Slice 80 of 155.
FLAIR MR.
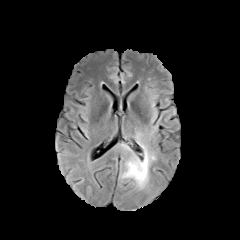
T1-weighted magnetic resonance.
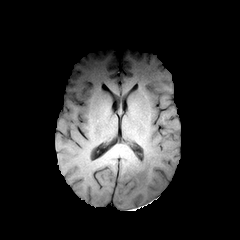
Post-contrast T1-weighted MR image.
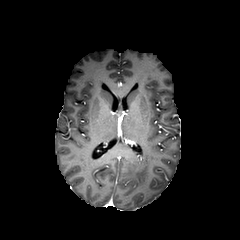
T2-weighted magnetic resonance.
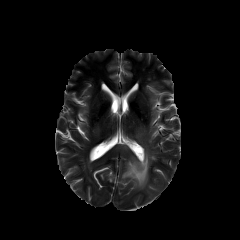
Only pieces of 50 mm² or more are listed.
- peritumoral edema: 122, 145, 151, 188